Axial view.
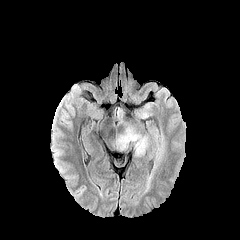
FLAIR MR image.
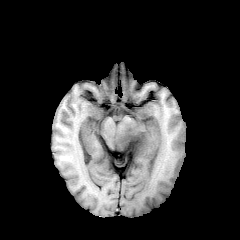
T1-weighted magnetic resonance of the same slice.
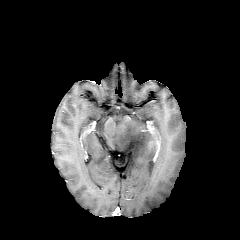
Post-contrast T1-weighted MRI.
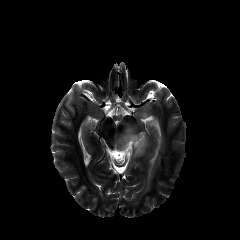
T2-weighted magnetic resonance.
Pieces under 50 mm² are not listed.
<segmentation>
  <peritumoral_edema>rect(157, 134, 163, 160); rect(116, 122, 149, 156)</peritumoral_edema>
</segmentation>